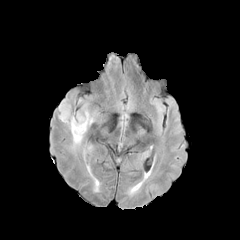
FLAIR MRI.
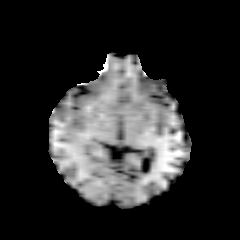
Same slice, T1-weighted MR image.
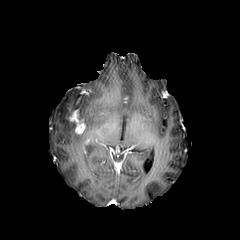
Post-contrast T1-weighted MR image.
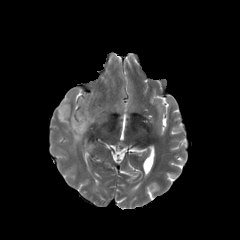
T2-weighted MR image.
Axial plane. 240x240 px. Brain.
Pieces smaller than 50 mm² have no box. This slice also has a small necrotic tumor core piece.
The peritumoral edema is bounded by [58, 99, 93, 148]. The enhancing tumor lies within [69, 110, 86, 134].